FLAIR MRI.
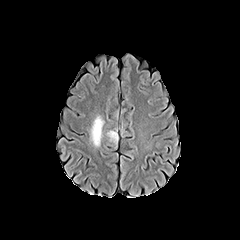
T1-weighted magnetic resonance.
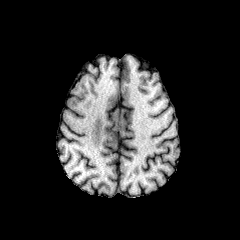
Post-contrast T1-weighted MR image.
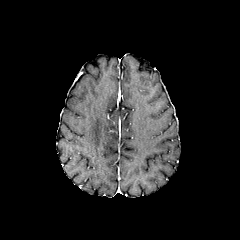
T2-weighted MR image.
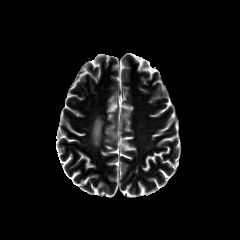
Brain, Axial slice
2 peritumoral edema regions appear at [90,116,104,146], [107,131,117,142].